FLAIR MR image.
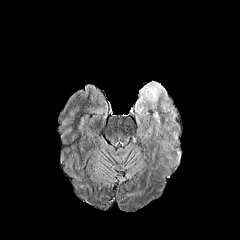
T1-weighted MR.
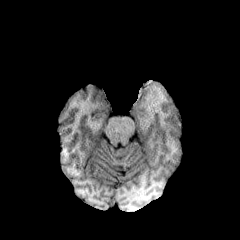
Post-contrast T1-weighted MR.
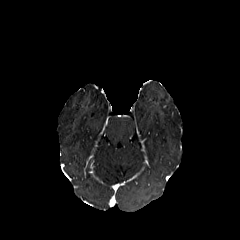
T2-weighted MRI.
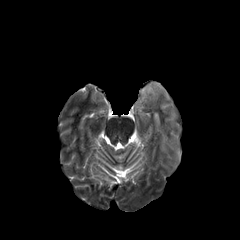
Head, Axial plane, Image size 240x240
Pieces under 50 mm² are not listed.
peritumoral edema: bounding box bbox(135, 82, 166, 124); bbox(153, 112, 159, 128)